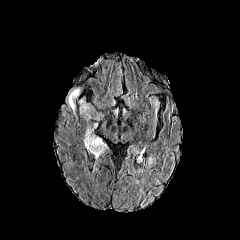
FLAIR MR image.
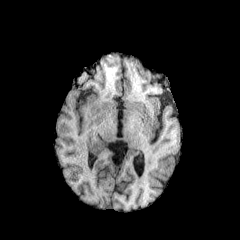
T1-weighted MR.
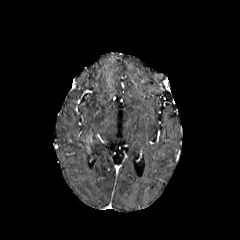
Post-contrast T1-weighted MR.
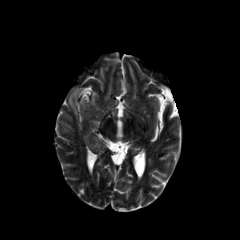
T2-weighted magnetic resonance.
Brain. Axial slice.
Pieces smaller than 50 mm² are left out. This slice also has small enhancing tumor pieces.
Findings:
- peritumoral edema: box=[68, 89, 106, 156]